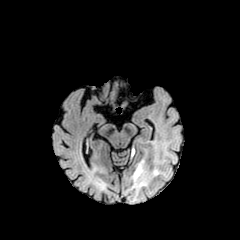
FLAIR magnetic resonance.
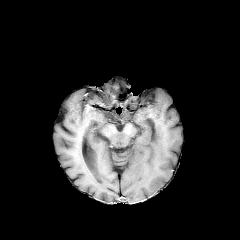
Same slice, T1-weighted MR image.
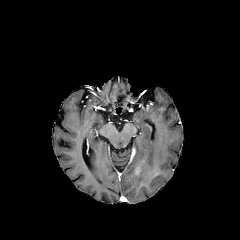
Post-contrast T1-weighted magnetic resonance.
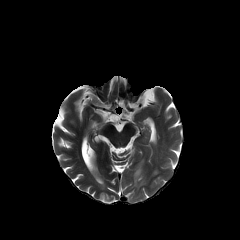
T2-weighted MRI of the same slice.
Axial view, Brain
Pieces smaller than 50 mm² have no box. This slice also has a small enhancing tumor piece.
{"peritumoral_edema": ["<box>131,159,147,190</box>"]}